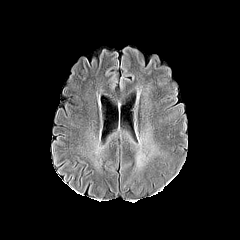
FLAIR magnetic resonance.
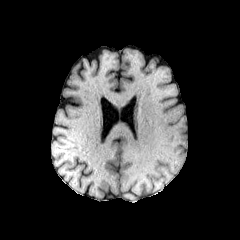
T1-weighted MRI.
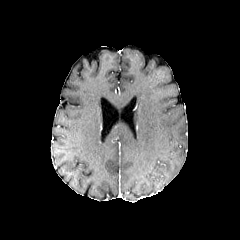
Post-contrast T1-weighted MR image.
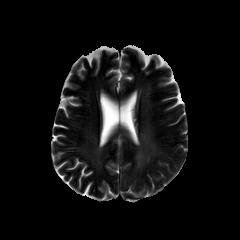
T2-weighted MR image of the same slice.
Head, 240x240 px
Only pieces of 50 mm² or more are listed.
The largest peritumoral edema region is bounded by 137, 151, 149, 167.